240x240
FLAIR MR.
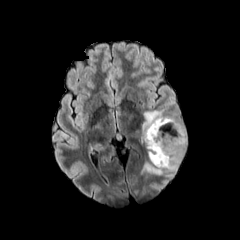
T1-weighted MR.
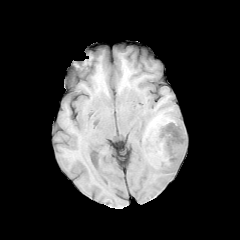
Post-contrast T1-weighted MR image.
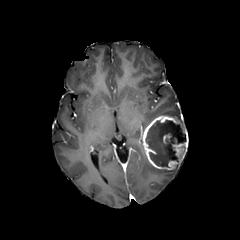
T2-weighted MRI.
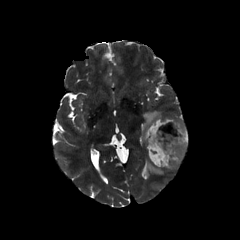
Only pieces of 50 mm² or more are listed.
2 peritumoral edema regions appear at (x1=144, y1=161, x2=179, y2=174), (x1=142, y1=109, x2=182, y2=130). The necrotic tumor core lies within (x1=146, y1=120, x2=186, y2=167). The largest enhancing tumor region is bounded by (x1=141, y1=116, x2=188, y2=169).